FLAIR MR.
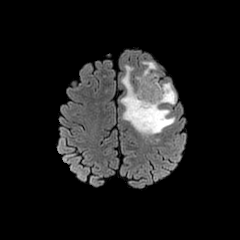
T1-weighted MR.
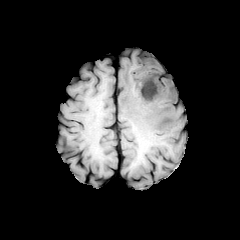
Post-contrast T1-weighted MRI.
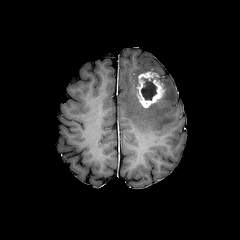
T2-weighted magnetic resonance.
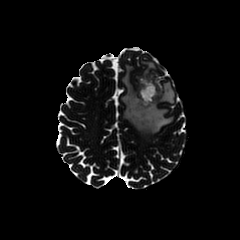
Head
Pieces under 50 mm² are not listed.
peritumoral edema: (x1=141, y1=61, x2=156, y2=72), (x1=120, y1=65, x2=175, y2=135) | necrotic tumor core: (x1=141, y1=76, x2=159, y2=100) | enhancing tumor: (x1=137, y1=72, x2=165, y2=108)